Axial slice; 240x240; Image covers 240 mm x 240 mm
FLAIR MRI.
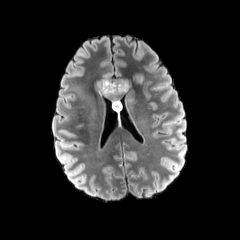
T1-weighted MR image.
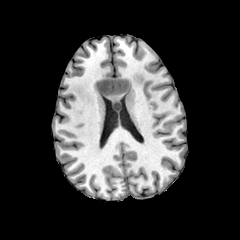
Post-contrast T1-weighted MR.
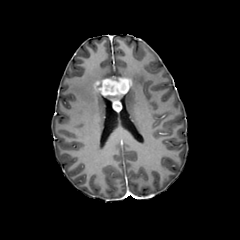
T2-weighted MR.
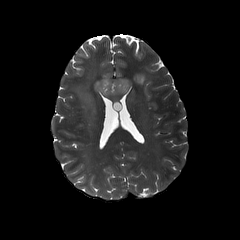
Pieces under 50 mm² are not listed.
* enhancing tumor: box(95, 77, 131, 111)
* peritumoral edema: box(132, 72, 144, 85); box(69, 74, 98, 118)